Slice index 110
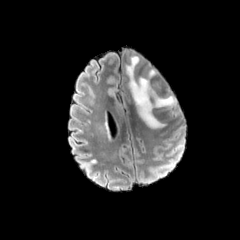
FLAIR MRI.
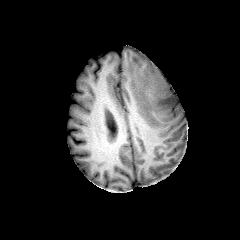
Same slice, T1-weighted magnetic resonance.
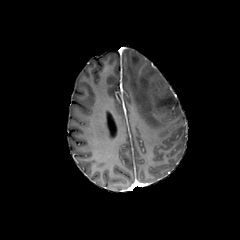
Post-contrast T1-weighted MRI.
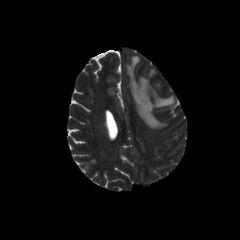
T2-weighted magnetic resonance.
- peritumoral edema: (x1=126, y1=56, x2=176, y2=128)